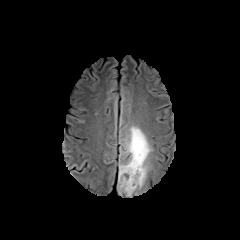
FLAIR MR image.
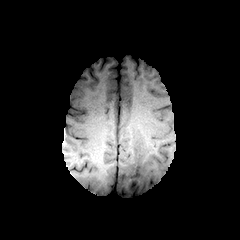
T1-weighted MRI of the same slice.
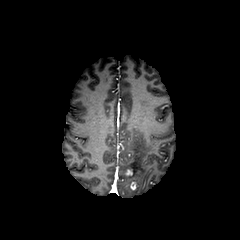
Post-contrast T1-weighted MR image.
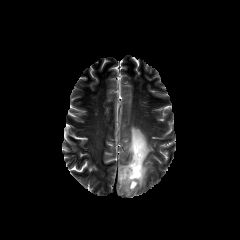
T2-weighted magnetic resonance of the same slice.
Brain
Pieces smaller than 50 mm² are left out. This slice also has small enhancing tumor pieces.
peritumoral edema = region(118, 126, 151, 196)